Brain. Slice 87 of 155.
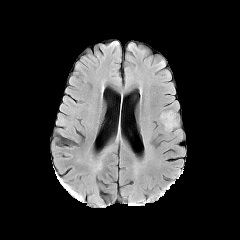
FLAIR MRI.
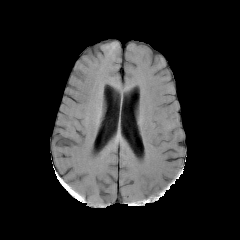
Same slice, T1-weighted MR.
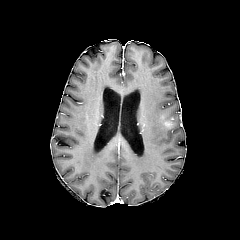
Same slice, post-contrast T1-weighted MRI.
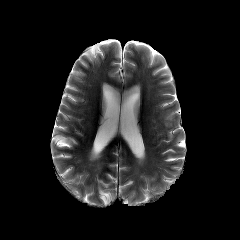
Same slice, T2-weighted MR.
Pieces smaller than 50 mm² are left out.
enhancing tumor at l=164, t=118, r=173, b=127
peritumoral edema at l=159, t=110, r=178, b=132